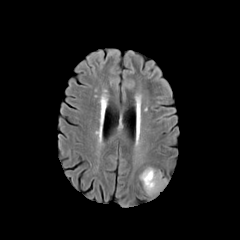
FLAIR MR.
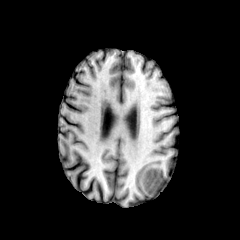
T1-weighted MRI.
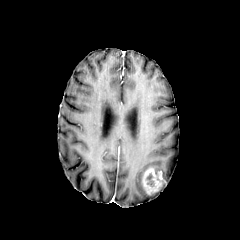
Post-contrast T1-weighted magnetic resonance.
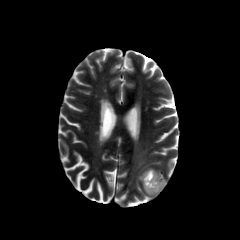
Same slice, T2-weighted magnetic resonance.
Head.
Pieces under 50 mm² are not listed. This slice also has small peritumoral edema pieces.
The enhancing tumor is bounded by 142:168:165:194. The necrotic tumor core appears at 147:174:153:186.